FLAIR MR image.
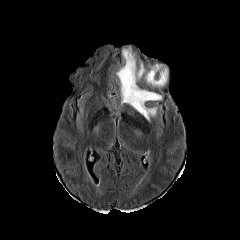
T1-weighted MRI.
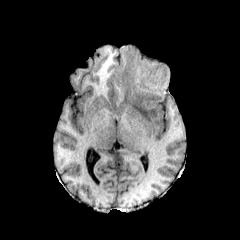
Post-contrast T1-weighted MRI.
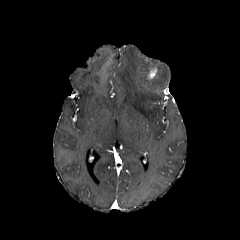
T2-weighted MRI.
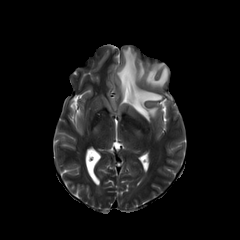
Axial slice. Image size 240x240.
{"peritumoral_edema": ["bbox=[116, 46, 168, 121]"], "enhancing_tumor": ["bbox=[149, 69, 156, 78]"]}